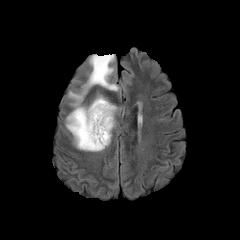
FLAIR magnetic resonance.
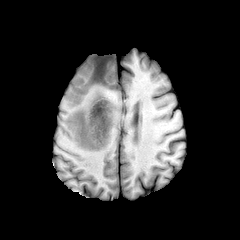
T1-weighted MRI of the same slice.
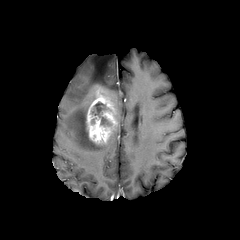
Post-contrast T1-weighted magnetic resonance.
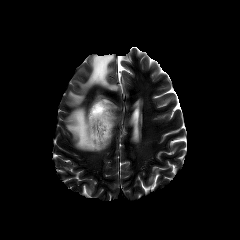
Same slice, T2-weighted MR image.
Brain.
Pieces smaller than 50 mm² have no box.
Segmented structures:
• necrotic tumor core: (94,102,105,116)
• peritumoral edema: (66,54,118,151)
• enhancing tumor: (86,92,117,144)